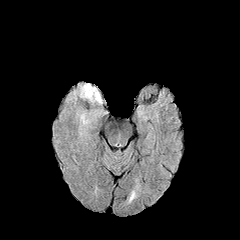
FLAIR MR.
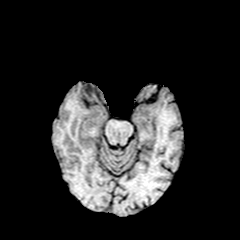
T1-weighted magnetic resonance.
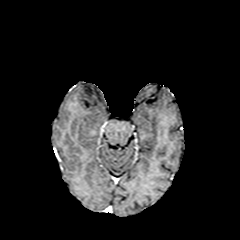
Post-contrast T1-weighted magnetic resonance.
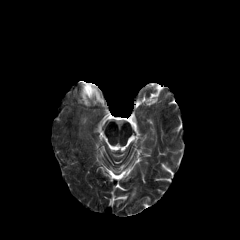
T2-weighted MR of the same slice.
Image size 240x240; Axial view
<segmentation>
  <peritumoral_edema>x1=81 y1=84 x2=101 y2=102</peritumoral_edema>
</segmentation>